Brain; Slice 92 of 155; Axial slice
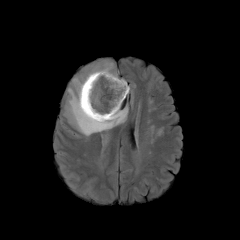
FLAIR MR image.
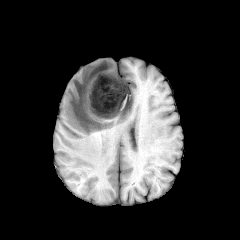
T1-weighted magnetic resonance.
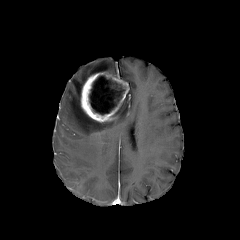
Same slice, post-contrast T1-weighted MR.
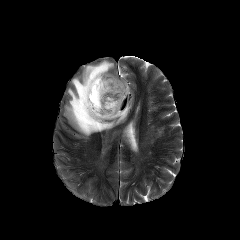
Same slice, T2-weighted MR.
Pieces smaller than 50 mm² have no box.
peritumoral edema: [x1=64, y1=60, x2=128, y2=136]
necrotic tumor core: [x1=89, y1=75, x2=121, y2=114]
enhancing tumor: [x1=80, y1=71, x2=129, y2=122]